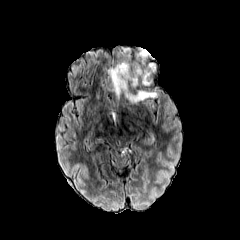
FLAIR MR image.
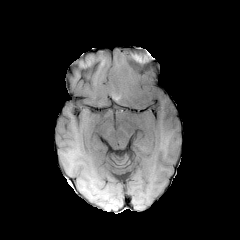
T1-weighted MR.
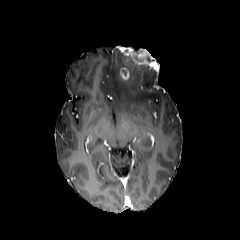
Same slice, post-contrast T1-weighted MR.
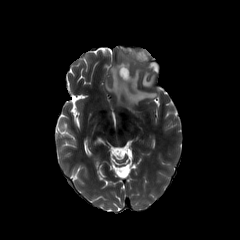
T2-weighted MRI.
Brain; 240x240
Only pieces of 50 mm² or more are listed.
enhancing tumor: 134,57,146,63; 121,47,132,58; 119,67,129,80
peritumoral edema: 108,56,157,103; 142,72,151,85